Head, Axial plane, Slice index 56
FLAIR MR image.
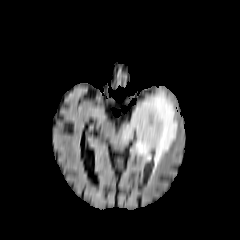
T1-weighted MR.
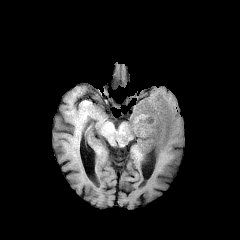
Post-contrast T1-weighted MRI.
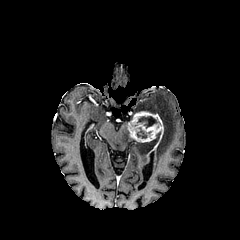
T2-weighted magnetic resonance.
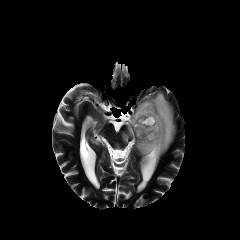
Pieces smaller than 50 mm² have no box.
The 3 largest peritumoral edema regions appear at box=[132, 138, 158, 160]; box=[122, 122, 133, 142]; box=[134, 91, 176, 166]. The enhancing tumor is at box=[127, 111, 163, 148]. The 2 largest necrotic tumor core regions appear at box=[137, 127, 146, 138]; box=[137, 116, 156, 128].